240x240 px | Brain | Image width 240 mm
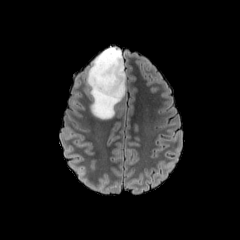
FLAIR MR image.
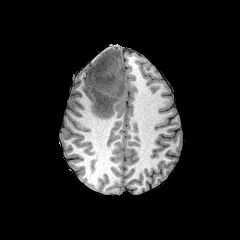
Same slice, T1-weighted MRI.
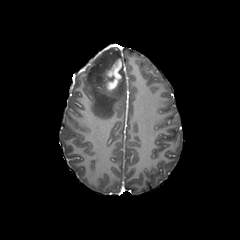
Post-contrast T1-weighted magnetic resonance.
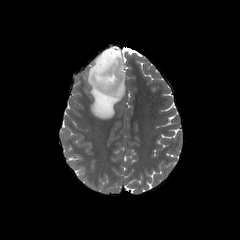
T2-weighted MRI.
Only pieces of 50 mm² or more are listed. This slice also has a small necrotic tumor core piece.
peritumoral edema: bounding box (left=86, top=46, right=126, bottom=119)
enhancing tumor: bounding box (left=104, top=59, right=122, bottom=91)